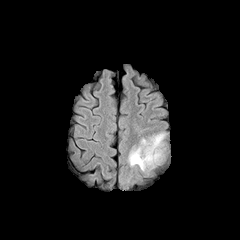
FLAIR MRI.
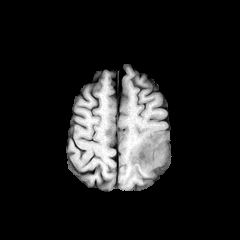
Same slice, T1-weighted magnetic resonance.
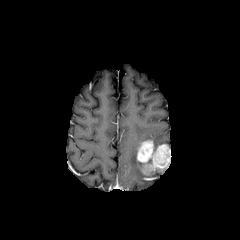
Post-contrast T1-weighted MR.
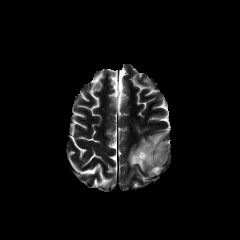
Same slice, T2-weighted magnetic resonance.
Axial view | 240x240 px
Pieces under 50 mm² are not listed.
Segmented structures:
* peritumoral edema: 128 132 166 171
* enhancing tumor: 137 140 170 173